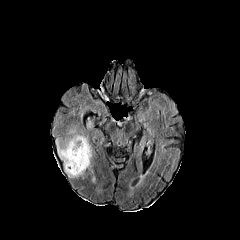
FLAIR magnetic resonance.
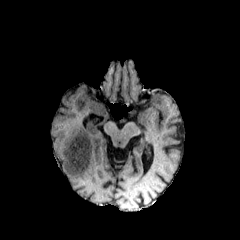
T1-weighted MRI.
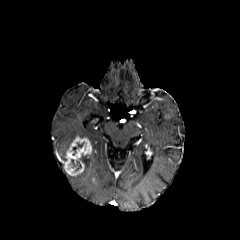
Post-contrast T1-weighted MRI.
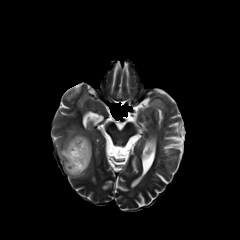
T2-weighted MR image of the same slice.
Image size 240x240. Axial slice. Head.
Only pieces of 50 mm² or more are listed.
{
  "enhancing_tumor": [
    "(65,138,88,174)"
  ],
  "necrotic_tumor_core": [
    "(71,159,81,172)",
    "(71,140,85,156)"
  ],
  "peritumoral_edema": [
    "(56,127,88,168)",
    "(67,141,92,178)"
  ]
}